FLAIR MR image.
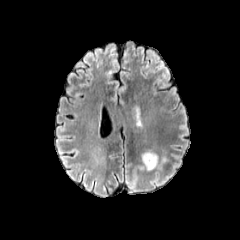
T1-weighted magnetic resonance.
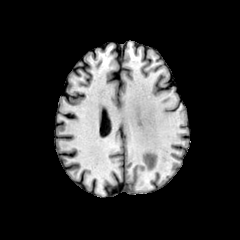
Post-contrast T1-weighted MR image.
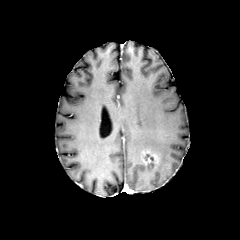
T2-weighted MR.
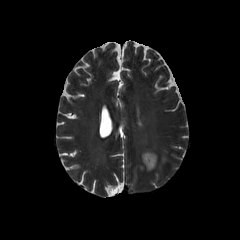
Head, Axial view, 240x240 px
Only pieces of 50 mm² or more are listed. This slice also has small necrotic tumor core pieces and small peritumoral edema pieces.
{
  "enhancing_tumor": [
    "left=142, top=151, right=158, bottom=168"
  ]
}